FLAIR MR.
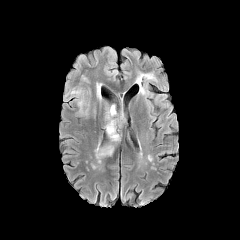
T1-weighted MRI.
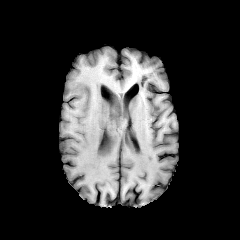
Post-contrast T1-weighted MR image.
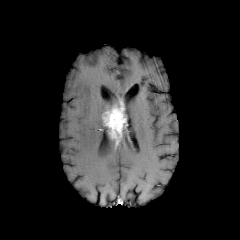
T2-weighted magnetic resonance.
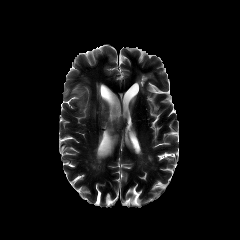
Axial slice, 240x240
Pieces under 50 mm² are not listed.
peritumoral edema = x1=71 y1=88 x2=95 y2=117, x1=104 y1=139 x2=115 y2=155, x1=80 y1=75 x2=90 y2=83
enhancing tumor = x1=103 y1=99 x2=125 y2=142